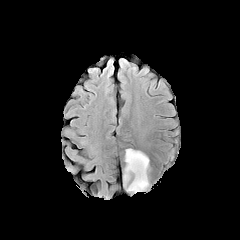
FLAIR MR.
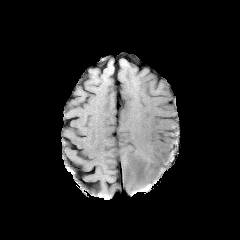
T1-weighted MR image.
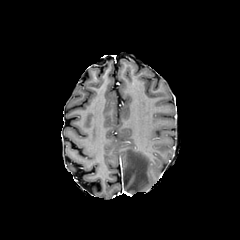
Post-contrast T1-weighted MRI of the same slice.
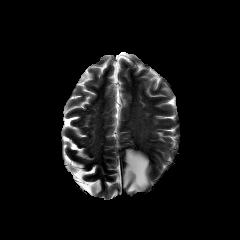
Same slice, T2-weighted MRI.
Brain | Axial plane | Image size 240x240
Annotated regions:
* peritumoral edema: left=123, top=149, right=149, bottom=192